Brain
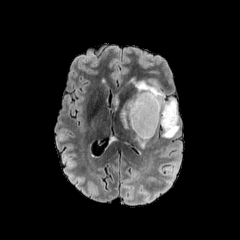
FLAIR MR.
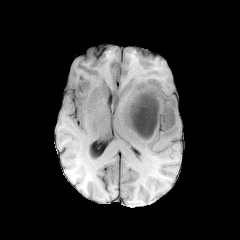
T1-weighted MR image.
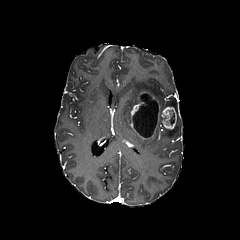
Post-contrast T1-weighted MR image.
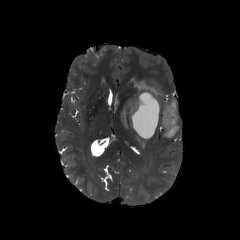
Same slice, T2-weighted MRI.
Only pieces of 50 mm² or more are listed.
{"peritumoral_edema": ["x1=120 y1=79 x2=163 y2=129", "x1=135 y1=135 x2=148 y2=149", "x1=163 y1=99 x2=179 y2=137"], "enhancing_tumor": ["x1=130 y1=92 x2=176 y2=132"], "necrotic_tumor_core": ["x1=132 y1=93 x2=158 y2=137"]}